240x240 px; Slice 86 of 155; Axial slice
FLAIR magnetic resonance.
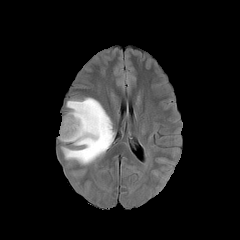
T1-weighted MRI.
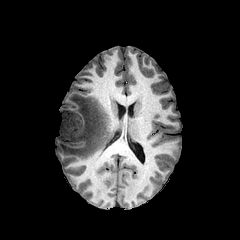
Post-contrast T1-weighted MR image.
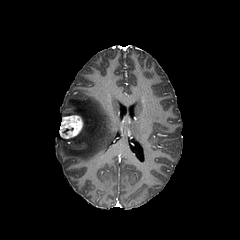
T2-weighted magnetic resonance.
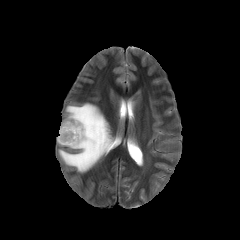
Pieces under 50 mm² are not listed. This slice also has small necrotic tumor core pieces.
peritumoral edema at l=58, t=98, r=114, b=166
enhancing tumor at l=59, t=115, r=83, b=138